Image width 240 mm. Axial plane.
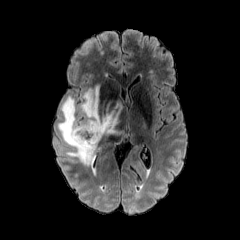
FLAIR MR image.
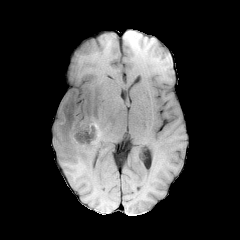
T1-weighted MR image of the same slice.
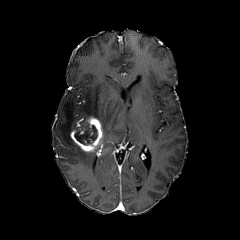
Post-contrast T1-weighted magnetic resonance.
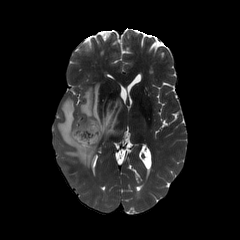
T2-weighted magnetic resonance of the same slice.
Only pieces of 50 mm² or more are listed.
peritumoral edema = [57, 96, 99, 166], [79, 84, 128, 144]
enhancing tumor = [70, 117, 102, 151]
necrotic tumor core = [74, 121, 97, 144]